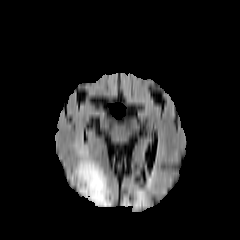
FLAIR MR.
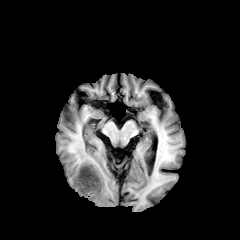
T1-weighted magnetic resonance of the same slice.
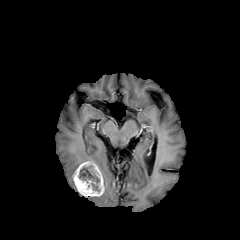
Post-contrast T1-weighted MR image.
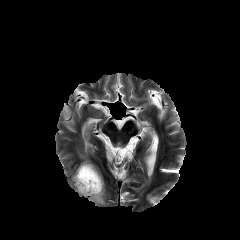
T2-weighted MR.
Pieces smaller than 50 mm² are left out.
• enhancing tumor: (x1=73, y1=161, x2=104, y2=196)
• peritumoral edema: (x1=85, y1=167, x2=110, y2=206), (x1=74, y1=144, x2=94, y2=172)
• necrotic tumor core: (x1=79, y1=167, x2=99, y2=183)